FLAIR MR.
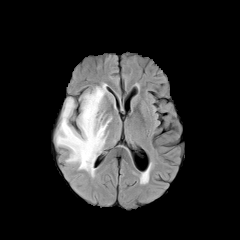
T1-weighted MR image.
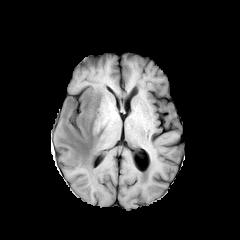
Post-contrast T1-weighted magnetic resonance.
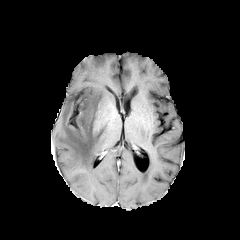
T2-weighted MR.
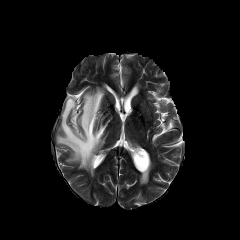
Axial view, Brain
peritumoral edema: rect(56, 84, 111, 176)